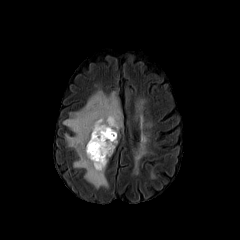
FLAIR MR image.
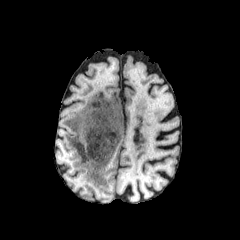
Same slice, T1-weighted MR image.
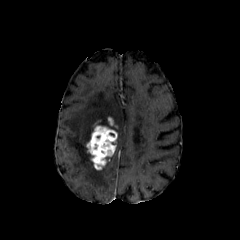
Post-contrast T1-weighted MR image.
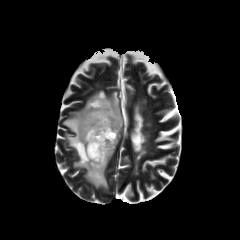
T2-weighted MRI.
Head
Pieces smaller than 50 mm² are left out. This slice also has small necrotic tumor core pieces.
{"peritumoral_edema": ["63:90:122:188"], "enhancing_tumor": ["107:117:117:128", "86:119:117:169"]}